FLAIR MR.
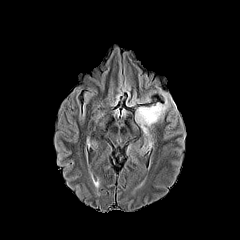
T1-weighted MRI.
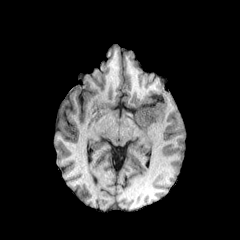
Post-contrast T1-weighted MR image.
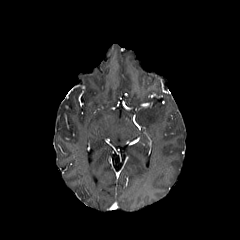
T2-weighted MR.
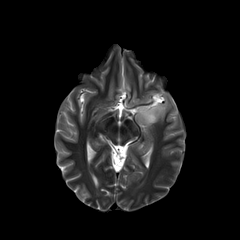
Brain; Axial view; 240x240 px
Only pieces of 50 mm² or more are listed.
The largest peritumoral edema region lies within l=136, t=94, r=169, b=135.